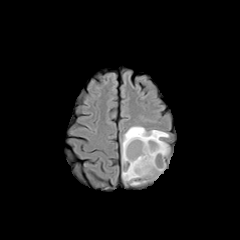
FLAIR MR.
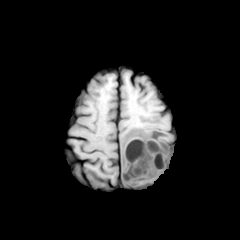
T1-weighted MRI.
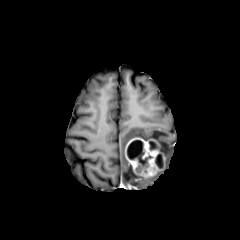
Post-contrast T1-weighted MR.
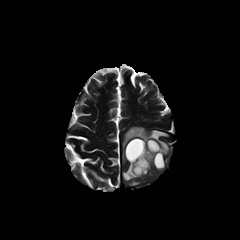
T2-weighted MRI of the same slice.
Brain
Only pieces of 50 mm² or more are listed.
necrotic tumor core = [155,154,163,168], [127,140,143,159]
peritumoral edema = [122,163,149,185], [122,126,169,164]
enhancing tumor = [125,138,164,176]